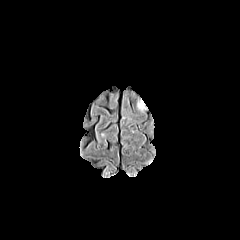
FLAIR magnetic resonance.
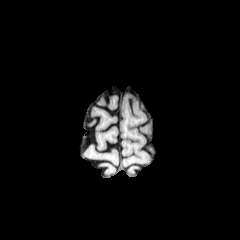
Same slice, T1-weighted MR.
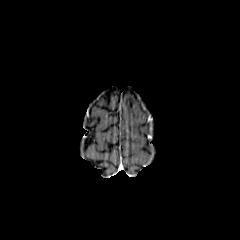
Post-contrast T1-weighted magnetic resonance of the same slice.
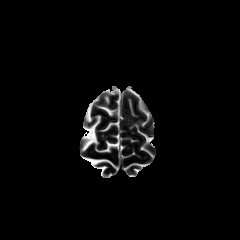
Same slice, T2-weighted MR image.
Head. 240x240 px. Axial view.
peritumoral edema: (left=138, top=100, right=147, bottom=109)